Image width 240 mm, 1.00 mm slice spacing; Brain
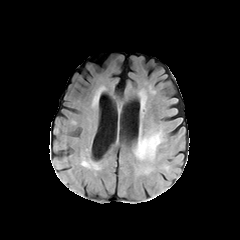
FLAIR MR.
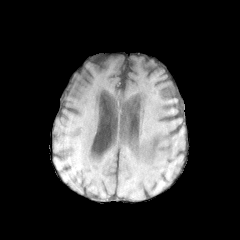
T1-weighted magnetic resonance of the same slice.
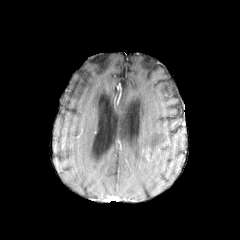
Post-contrast T1-weighted MR.
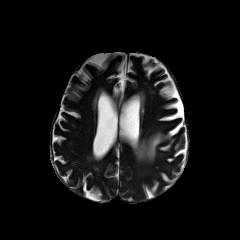
T2-weighted magnetic resonance.
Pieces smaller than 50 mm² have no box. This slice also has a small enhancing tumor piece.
peritumoral_edema:
  - [134,131,164,161]